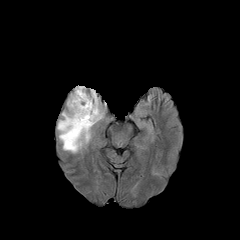
FLAIR magnetic resonance.
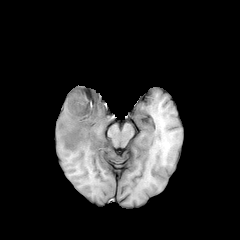
T1-weighted MRI.
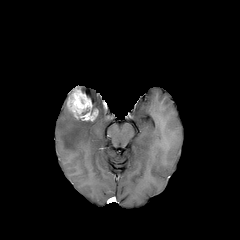
Post-contrast T1-weighted MR image of the same slice.
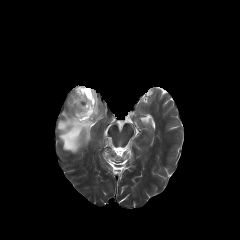
Same slice, T2-weighted MR.
240x240. Axial slice.
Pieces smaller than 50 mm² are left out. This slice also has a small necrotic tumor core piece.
<segmentation>
  <peritumoral_edema>(57,86,104,153)</peritumoral_edema>
  <enhancing_tumor>(67,86,98,121)</enhancing_tumor>
</segmentation>